Axial slice | Head
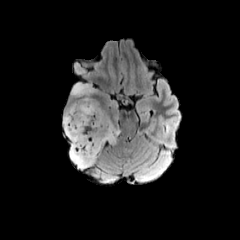
FLAIR MRI.
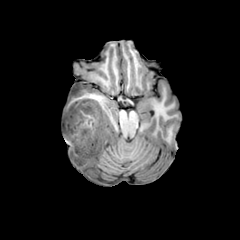
T1-weighted MR.
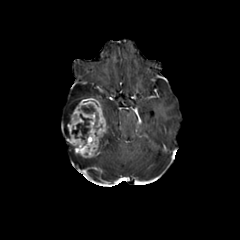
Post-contrast T1-weighted magnetic resonance.
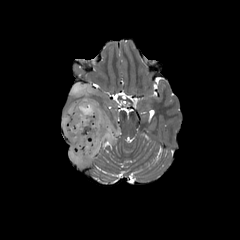
T2-weighted MRI of the same slice.
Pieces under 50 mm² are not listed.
Segmented structures:
* enhancing tumor: [67, 98, 108, 158]
* peritumoral edema: [69, 145, 95, 167], [63, 103, 77, 138], [99, 118, 113, 150], [71, 82, 94, 98]
* necrotic tumor core: [72, 114, 90, 139], [82, 106, 94, 113]